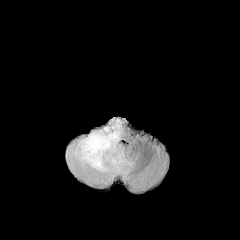
FLAIR MR image.
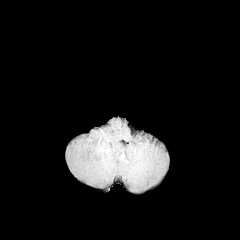
Same slice, T1-weighted MRI.
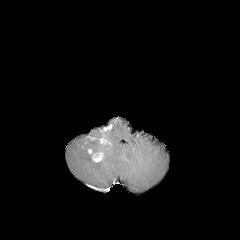
Same slice, post-contrast T1-weighted MR.
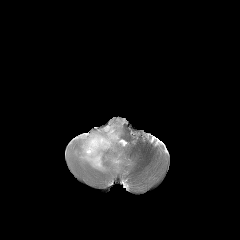
T2-weighted MRI.
Brain
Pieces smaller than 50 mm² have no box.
The peritumoral edema is bounded by (left=66, top=117, right=133, bottom=183). The 2 largest enhancing tumor regions are bounded by (left=87, top=149, right=103, bottom=162), (left=99, top=137, right=109, bottom=144).